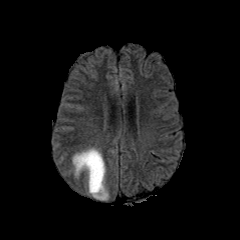
FLAIR MR.
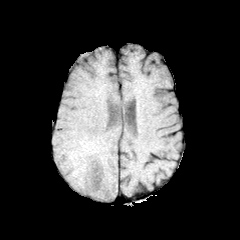
T1-weighted MR of the same slice.
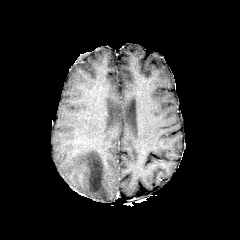
Post-contrast T1-weighted MRI.
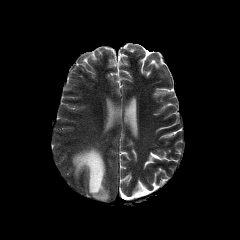
T2-weighted magnetic resonance.
Axial slice
The peritumoral edema appears at 72,147,108,200.